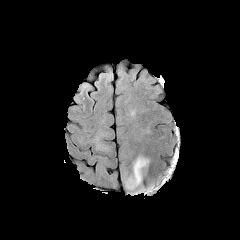
FLAIR MR.
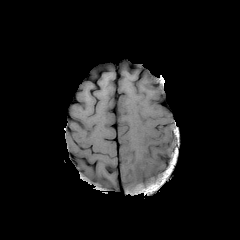
Same slice, T1-weighted MR image.
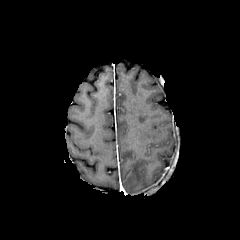
Post-contrast T1-weighted magnetic resonance.
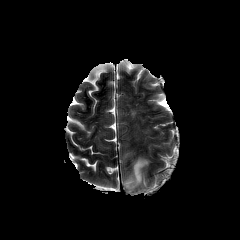
T2-weighted MR.
240x240. Axial slice.
peritumoral_edema:
  - rect(124, 156, 149, 191)